FLAIR magnetic resonance.
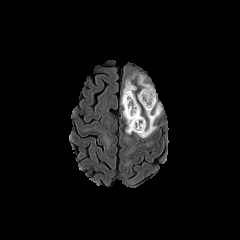
T1-weighted magnetic resonance.
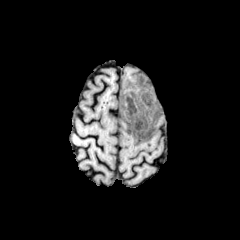
Post-contrast T1-weighted magnetic resonance.
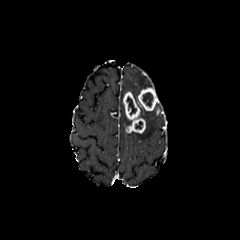
T2-weighted MR image.
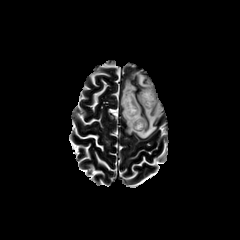
Head
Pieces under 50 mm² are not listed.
necrotic tumor core: {"x1": 127, "y1": 97, "x2": 136, "y2": 114}, {"x1": 143, "y1": 93, "x2": 152, "y2": 106} | enhancing tumor: {"x1": 137, "y1": 87, "x2": 158, "y2": 110}, {"x1": 123, "y1": 91, "x2": 145, "y2": 133} | peritumoral edema: {"x1": 121, "y1": 79, "x2": 137, "y2": 107}, {"x1": 122, "y1": 108, "x2": 131, "y2": 125}, {"x1": 136, "y1": 103, "x2": 161, "y2": 138}, {"x1": 138, "y1": 74, "x2": 151, "y2": 88}